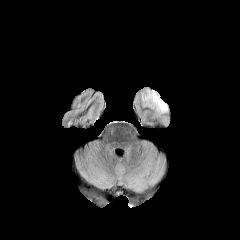
FLAIR MR.
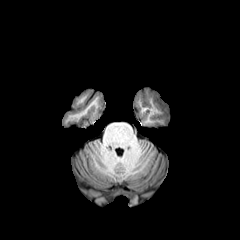
T1-weighted magnetic resonance.
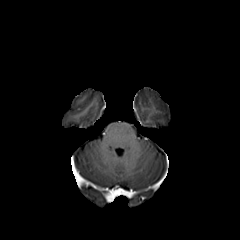
Post-contrast T1-weighted MR image.
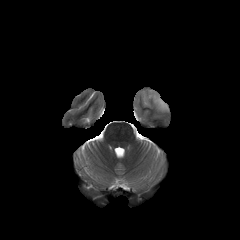
T2-weighted MR image.
Axial plane. Head.
peritumoral edema = {"x1": 150, "y1": 92, "x2": 167, "y2": 112}